Axial view; Head; Slice 113 of 155; Image size 240x240; Image width 240 mm
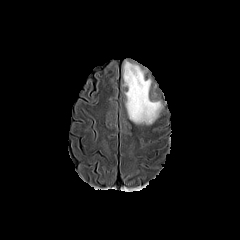
FLAIR MRI.
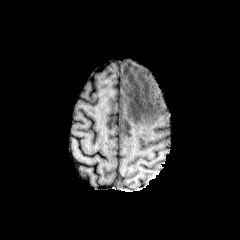
Same slice, T1-weighted MRI.
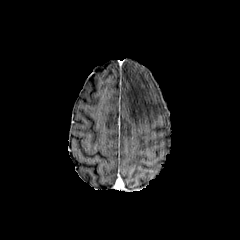
Post-contrast T1-weighted MRI.
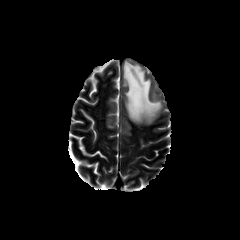
T2-weighted magnetic resonance.
The peritumoral edema is located at left=123, top=61, right=162, bottom=124.